Image width 240 mm, 1.00 mm slice spacing. Head.
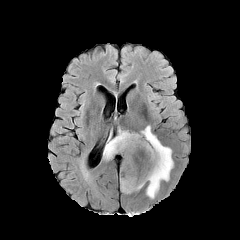
FLAIR MR.
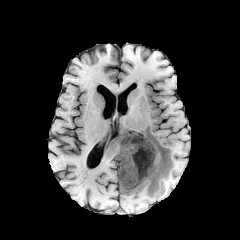
T1-weighted MR image.
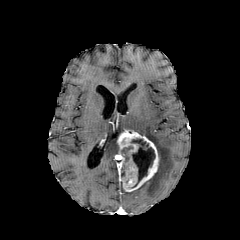
Same slice, post-contrast T1-weighted MR.
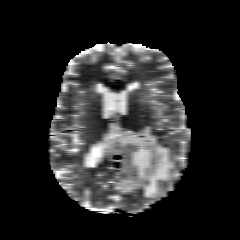
T2-weighted magnetic resonance of the same slice.
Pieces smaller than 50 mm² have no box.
peritumoral_edema:
  - (103,135,118,159)
  - (139,126,173,198)
enhancing_tumor:
  - (117,130,159,191)
necrotic_tumor_core:
  - (131,139,154,186)